FLAIR MR image.
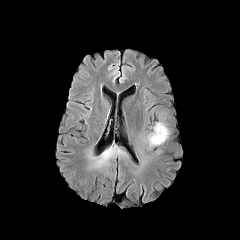
T1-weighted MRI.
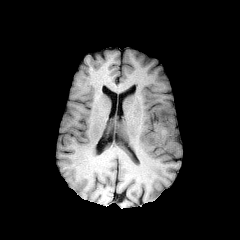
Post-contrast T1-weighted MR.
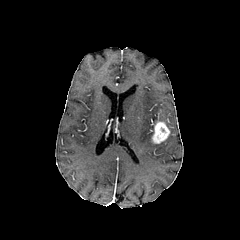
T2-weighted MRI.
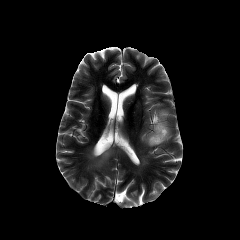
240x240 | Head
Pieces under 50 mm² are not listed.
enhancing_tumor:
  - 151,119,170,143
peritumoral_edema:
  - 96,150,111,163
  - 142,126,163,147
  - 158,111,166,120